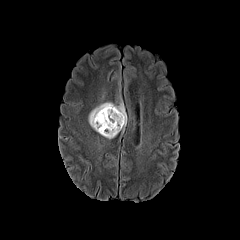
FLAIR MR.
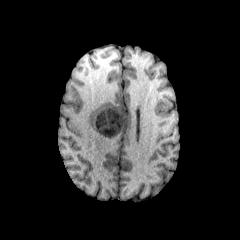
Same slice, T1-weighted MR.
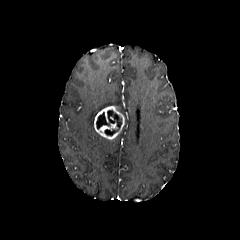
Same slice, post-contrast T1-weighted MRI.
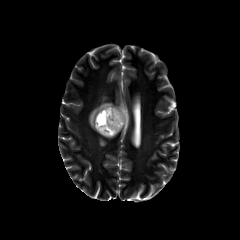
T2-weighted MRI.
240x240 px. Axial plane. Brain.
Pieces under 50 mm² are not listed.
The largest enhancing tumor region is at [94, 106, 124, 139]. The necrotic tumor core is located at [96, 110, 121, 135]. The peritumoral edema is at [88, 101, 127, 131].